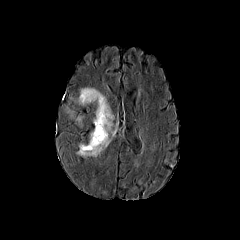
FLAIR MR.
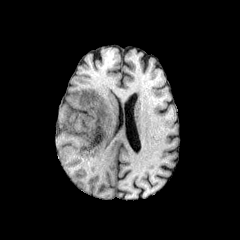
T1-weighted magnetic resonance.
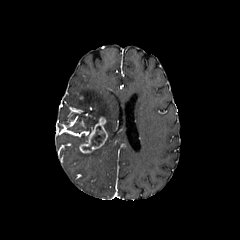
Same slice, post-contrast T1-weighted MR.
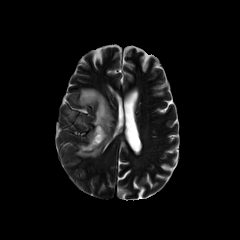
T2-weighted MR of the same slice.
Axial slice. 240x240.
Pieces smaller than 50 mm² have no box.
The largest enhancing tumor region is bounded by region(79, 117, 107, 153). The largest necrotic tumor core region lies within region(91, 126, 105, 146). The largest peritumoral edema region is located at region(76, 88, 114, 157).